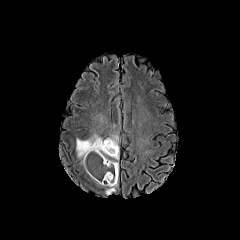
FLAIR magnetic resonance.
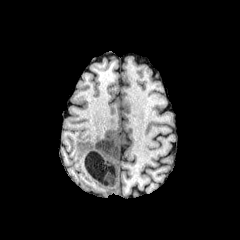
T1-weighted magnetic resonance.
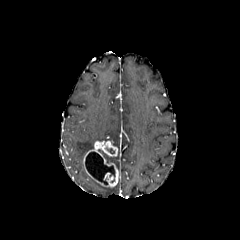
Post-contrast T1-weighted MR image.
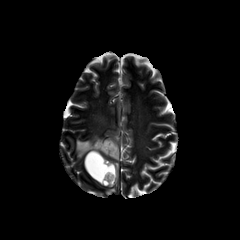
Same slice, T2-weighted MRI.
Axial slice | 240x240
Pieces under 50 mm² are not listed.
peritumoral edema: (105, 135, 118, 146), (105, 184, 117, 194), (76, 135, 102, 158)
necrotic tumor core: (85, 152, 115, 184)
enhancing tumor: (83, 140, 118, 187)